FLAIR MRI.
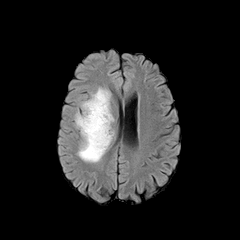
T1-weighted magnetic resonance.
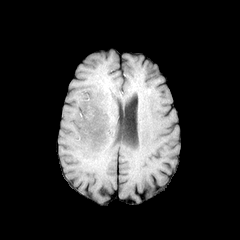
Post-contrast T1-weighted magnetic resonance.
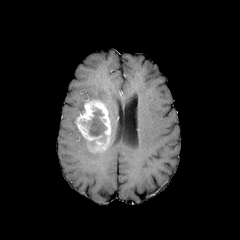
T2-weighted magnetic resonance.
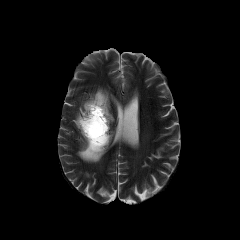
Axial slice, Brain, Image size 240x240
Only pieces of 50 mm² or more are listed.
Segmented structures:
• peritumoral edema: {"x1": 77, "y1": 136, "x2": 109, "y2": 162}, {"x1": 87, "y1": 87, "x2": 113, "y2": 123}
• enhancing tumor: {"x1": 75, "y1": 99, "x2": 110, "y2": 152}
• necrotic tumor core: {"x1": 88, "y1": 110, "x2": 105, "y2": 136}